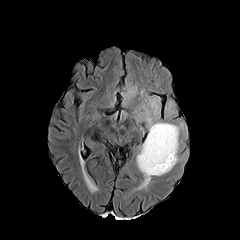
FLAIR MRI.
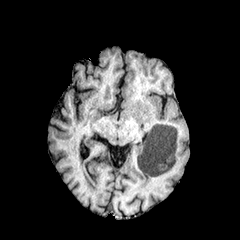
T1-weighted MR of the same slice.
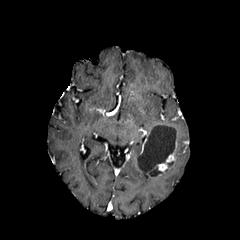
Post-contrast T1-weighted magnetic resonance.
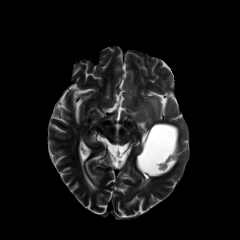
T2-weighted MR image.
Brain. Image size 240x240.
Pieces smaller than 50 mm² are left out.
necrotic tumor core: 138 124 176 174
enhancing tumor: 155 127 177 172
peritumoral edema: 136 151 171 188, 144 98 182 166